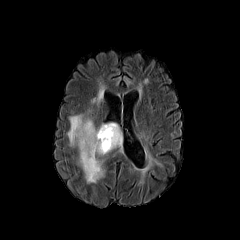
FLAIR MR.
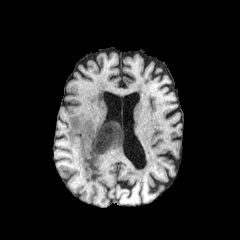
Same slice, T1-weighted MR.
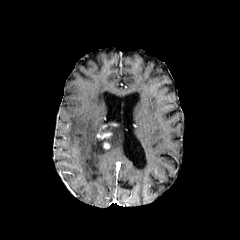
Post-contrast T1-weighted MR image of the same slice.
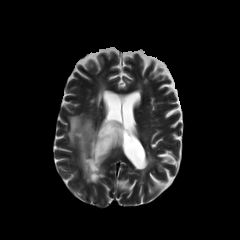
Same slice, T2-weighted magnetic resonance.
Brain | Axial view
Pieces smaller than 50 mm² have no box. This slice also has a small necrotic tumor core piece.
The largest enhancing tumor region is bounded by (left=97, top=125, right=111, bottom=139). The 2 largest peritumoral edema regions are located at (left=67, top=115, right=122, bottom=182), (left=97, top=93, right=102, bottom=104).